FLAIR MR image.
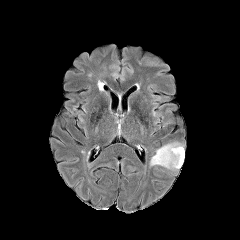
T1-weighted MR.
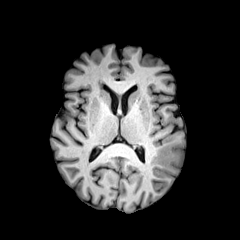
Post-contrast T1-weighted magnetic resonance.
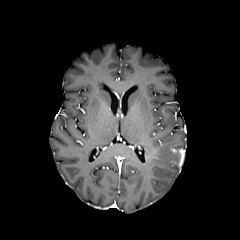
T2-weighted MRI.
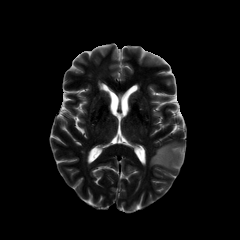
Head
The peritumoral edema is at rect(150, 141, 183, 170). The enhancing tumor lies within rect(171, 148, 184, 167).